Head. Slice 77 of 155. 240x240. Image width 240 mm, 1.00 mm slice spacing.
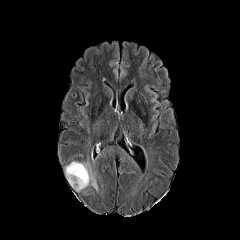
FLAIR MR.
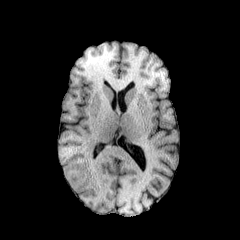
T1-weighted magnetic resonance of the same slice.
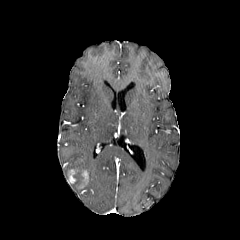
Post-contrast T1-weighted MRI.
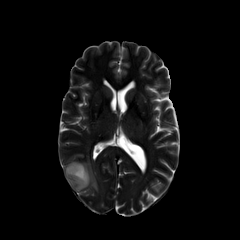
T2-weighted MR image of the same slice.
<segmentation>
  <peritumoral_edema>65 162 98 191</peritumoral_edema>
  <enhancing_tumor>67 169 78 183, 78 170 88 188</enhancing_tumor>
</segmentation>